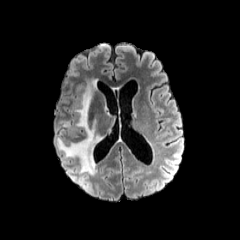
FLAIR MRI.
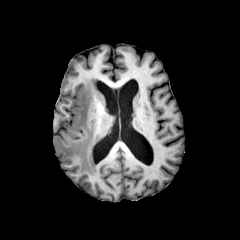
T1-weighted MR.
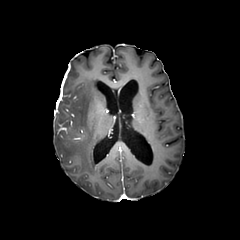
Same slice, post-contrast T1-weighted MRI.
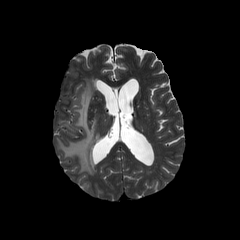
T2-weighted magnetic resonance.
Axial slice; Brain
peritumoral_edema:
  - (left=57, top=80, right=101, bottom=174)